FLAIR MRI.
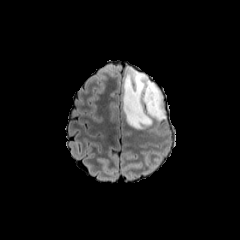
T1-weighted MR image.
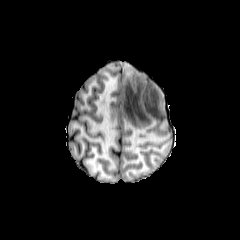
Post-contrast T1-weighted MR.
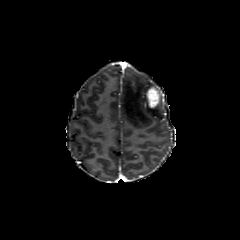
T2-weighted magnetic resonance.
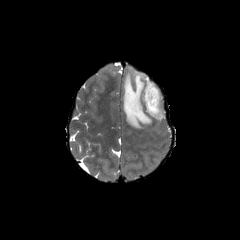
Image size 240x240, Axial plane, Brain
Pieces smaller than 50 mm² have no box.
The largest peritumoral edema region is located at [122, 68, 165, 129]. The enhancing tumor is located at [146, 87, 160, 108].